Axial slice, Slice 69/155, Image width 240 mm
FLAIR MR image.
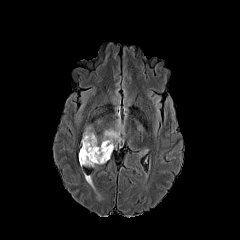
T1-weighted MRI.
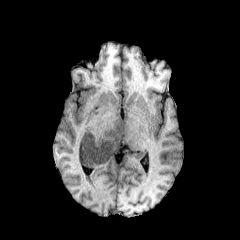
Post-contrast T1-weighted MRI.
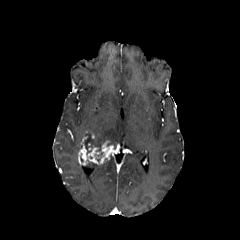
T2-weighted MR.
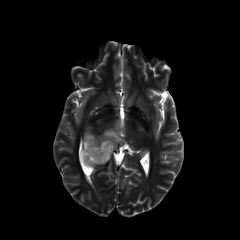
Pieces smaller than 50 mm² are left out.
The largest necrotic tumor core region is at region(84, 132, 101, 153). The largest enhancing tumor region appears at region(78, 136, 113, 165). The largest peritumoral edema region is located at region(101, 115, 124, 147).